Slice 96/155. Head. Axial plane.
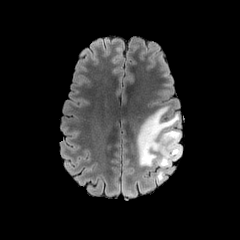
FLAIR MR image.
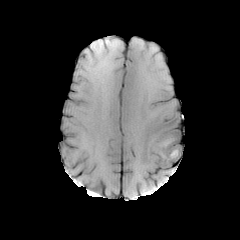
T1-weighted magnetic resonance.
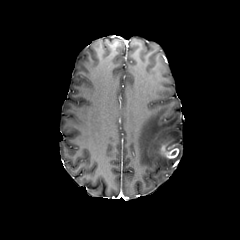
Same slice, post-contrast T1-weighted MR image.
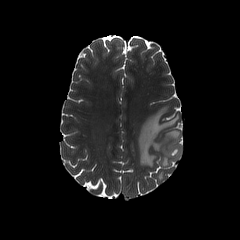
Same slice, T2-weighted MRI.
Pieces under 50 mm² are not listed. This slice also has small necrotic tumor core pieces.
The peritumoral edema is located at <bbox>137, 106, 181, 182</bbox>. The enhancing tumor is located at <bbox>160, 144, 179, 158</bbox>.